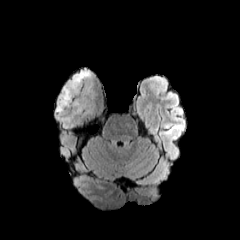
FLAIR MR image.
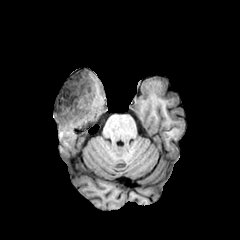
Same slice, T1-weighted MRI.
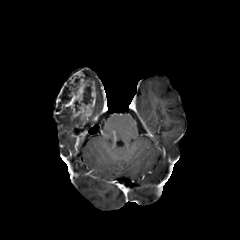
Post-contrast T1-weighted MRI.
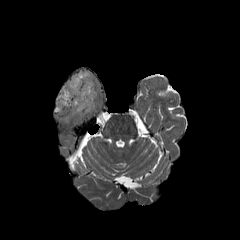
T2-weighted MR.
Axial plane. Image size 240x240.
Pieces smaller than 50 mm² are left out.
The 2 largest necrotic tumor core regions are located at 81,82,92,104; 56,78,79,111. The 2 largest enhancing tumor regions appear at 56,82,67,107; 55,70,96,121. 2 peritumoral edema regions appear at 56,107,71,124; 82,69,92,79.